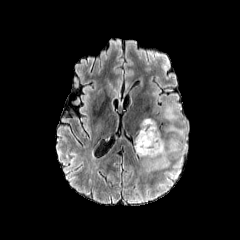
FLAIR MR image.
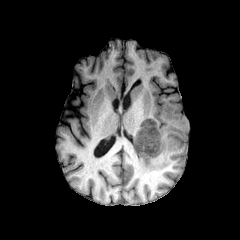
Same slice, T1-weighted MRI.
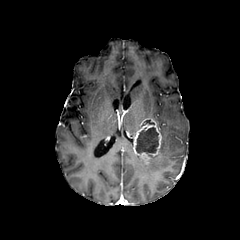
Post-contrast T1-weighted MRI.
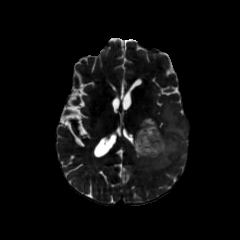
T2-weighted MRI of the same slice.
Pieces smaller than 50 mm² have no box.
Findings:
- enhancing tumor: <bbox>133, 118, 161, 163</bbox>
- peritumoral edema: <bbox>143, 104, 186, 170</bbox>
- necrotic tumor core: <bbox>136, 127, 158, 153</bbox>